Slice index 100; 240x240; Brain; Axial view
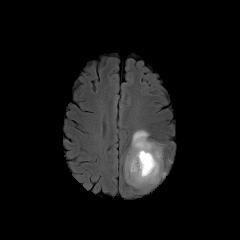
FLAIR magnetic resonance.
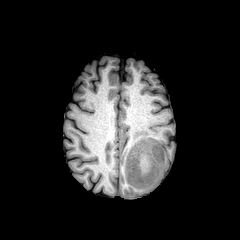
Same slice, T1-weighted MR.
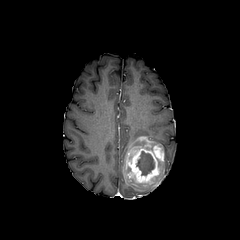
Same slice, post-contrast T1-weighted MR.
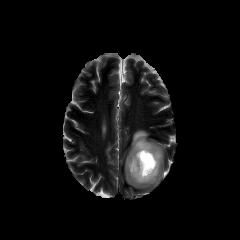
T2-weighted MRI.
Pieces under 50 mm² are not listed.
• necrotic tumor core: [137,151,154,175]
• peritumoral edema: [131,170,165,189], [129,129,149,149]
• enhancing tumor: [124,136,164,187]